Image covers 240 mm x 240 mm | Image size 240x240 | Slice 124/155
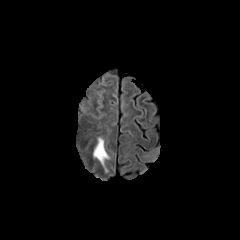
FLAIR MR image.
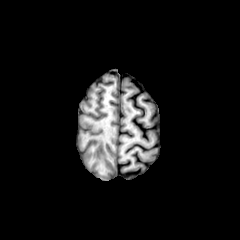
T1-weighted MRI of the same slice.
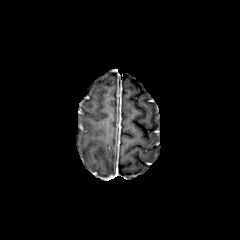
Post-contrast T1-weighted MR image.
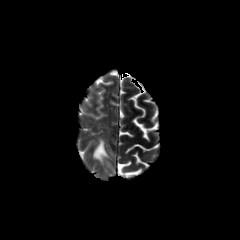
Same slice, T2-weighted magnetic resonance.
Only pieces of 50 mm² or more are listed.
{"peritumoral_edema": ["(93, 137, 109, 165)"]}